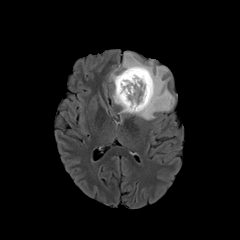
FLAIR MRI.
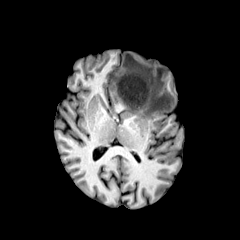
T1-weighted MR.
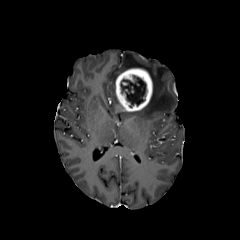
Post-contrast T1-weighted MR of the same slice.
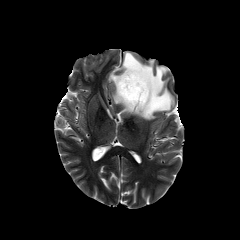
T2-weighted MRI.
240x240 px. Head. Axial plane.
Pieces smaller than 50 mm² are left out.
enhancing tumor — 115 68 152 111
peritumoral edema — 109 52 174 120
necrotic tumor core — 120 75 145 107